FLAIR MRI.
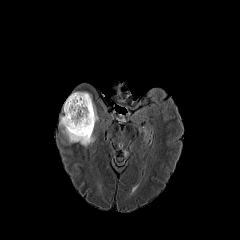
T1-weighted magnetic resonance.
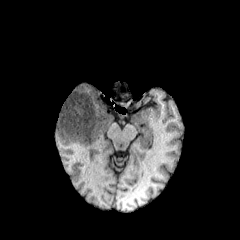
Post-contrast T1-weighted MRI.
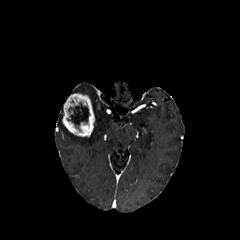
T2-weighted MR image.
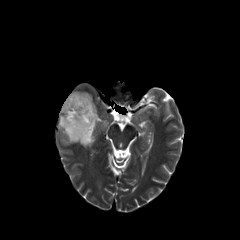
Brain
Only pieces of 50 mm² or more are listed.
<segmentation>
  <necrotic_tumor_core>left=67, top=103, right=89, bottom=127</necrotic_tumor_core>
  <peritumoral_edema>left=59, top=115, right=95, bottom=147; left=74, top=91, right=98, bottom=123</peritumoral_edema>
  <enhancing_tumor>left=62, top=93, right=95, bottom=137</enhancing_tumor>
</segmentation>